FLAIR magnetic resonance.
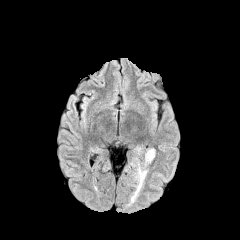
T1-weighted MRI.
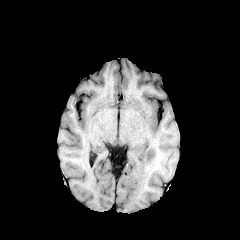
Post-contrast T1-weighted MRI.
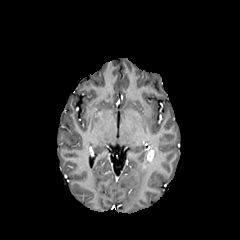
T2-weighted MR.
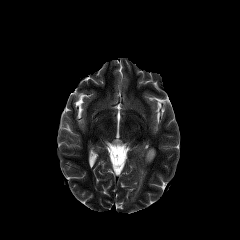
240x240
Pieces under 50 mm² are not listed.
Segmented structures:
• peritumoral edema: {"x1": 131, "y1": 168, "x2": 146, "y2": 202}
• enhancing tumor: {"x1": 147, "y1": 149, "x2": 154, "y2": 161}